240x240 px. Slice 75 of 155. Brain.
FLAIR MR image.
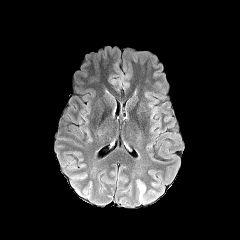
T1-weighted MRI.
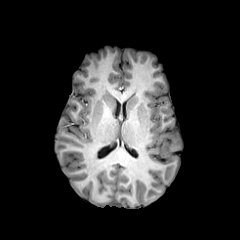
Post-contrast T1-weighted MRI.
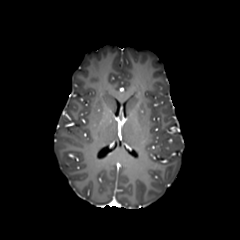
T2-weighted MR.
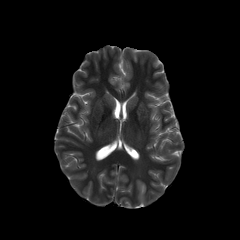
<segmentation>
  <peritumoral_edema>box=[135, 178, 146, 203]</peritumoral_edema>
</segmentation>